Head
FLAIR MRI.
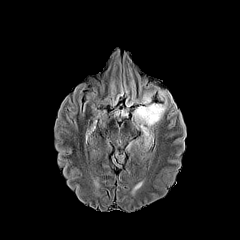
T1-weighted magnetic resonance.
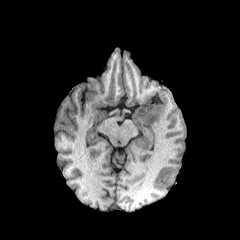
Post-contrast T1-weighted MRI.
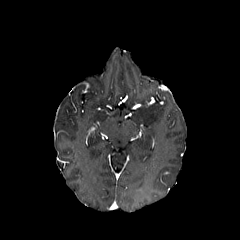
T2-weighted MR.
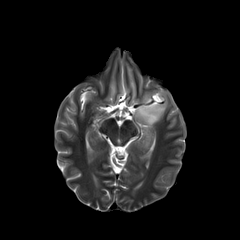
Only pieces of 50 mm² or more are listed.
The 2 largest peritumoral edema regions are located at x1=141, y1=92, x2=152, y2=103; x1=134, y1=99, x2=167, y2=145.